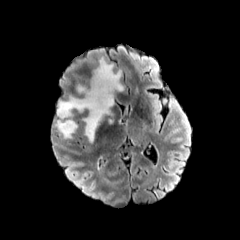
FLAIR magnetic resonance.
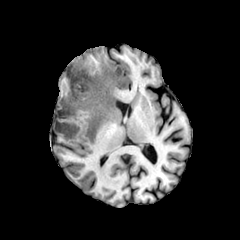
T1-weighted MR image.
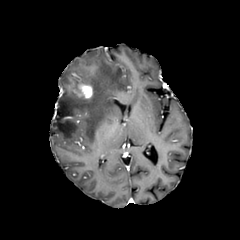
Post-contrast T1-weighted magnetic resonance of the same slice.
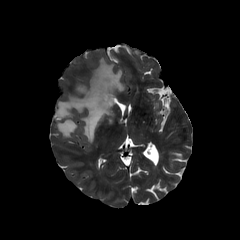
T2-weighted magnetic resonance.
Head
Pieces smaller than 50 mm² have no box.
The largest peritumoral edema region is bounded by bbox(56, 57, 123, 142). The enhancing tumor appears at bbox(74, 83, 92, 98).